Image size 240x240
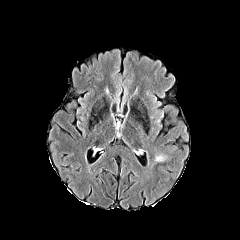
FLAIR MR.
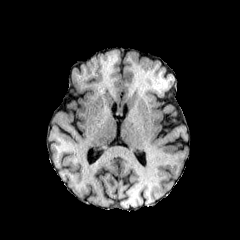
T1-weighted magnetic resonance.
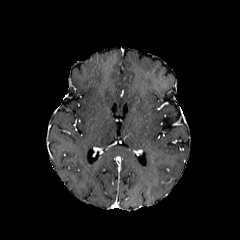
Post-contrast T1-weighted magnetic resonance of the same slice.
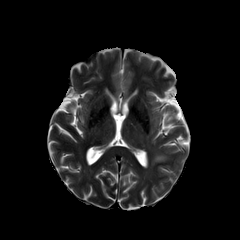
Same slice, T2-weighted magnetic resonance.
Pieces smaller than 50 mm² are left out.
<segmentation>
  <peritumoral_edema><box>154,155,166,161</box></peritumoral_edema>
</segmentation>